Slice 90/155
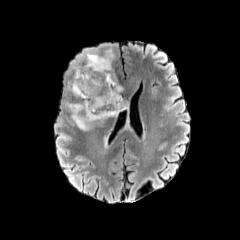
FLAIR magnetic resonance.
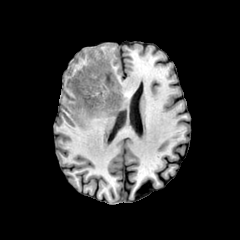
T1-weighted magnetic resonance of the same slice.
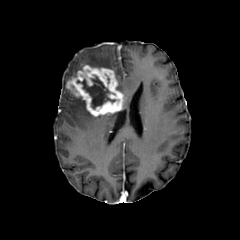
Post-contrast T1-weighted MR of the same slice.
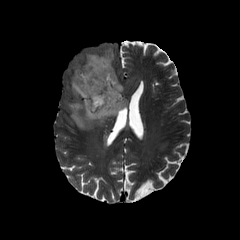
T2-weighted MR image.
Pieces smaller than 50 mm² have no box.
The enhancing tumor is located at <bbox>66, 65, 124, 116</bbox>. The largest necrotic tumor core region is located at <bbox>77, 76, 115, 108</bbox>. The 2 largest peritumoral edema regions are bounded by <bbox>66, 98, 118, 130</bbox>, <bbox>83, 48, 113, 70</bbox>.